Slice 125/155, 240x240 px, Head
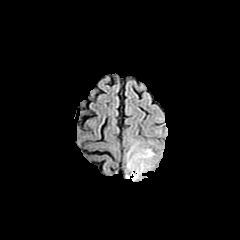
FLAIR MR image.
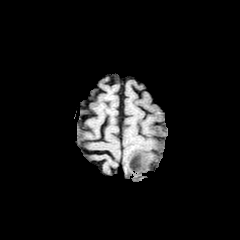
Same slice, T1-weighted MR.
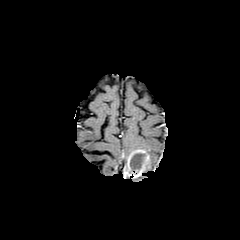
Post-contrast T1-weighted MR image.
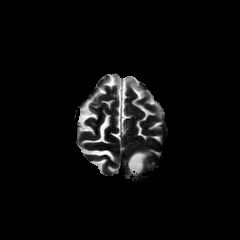
T2-weighted MRI.
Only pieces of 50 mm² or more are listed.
Findings:
- necrotic tumor core: 130 153 144 170
- peritumoral edema: 127 146 138 161, 140 149 154 166
- enhancing tumor: 127 149 150 177